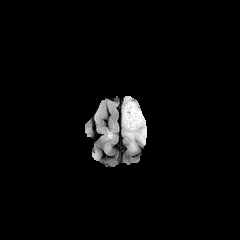
FLAIR MR.
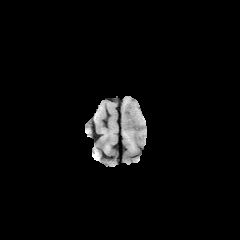
Same slice, T1-weighted MR.
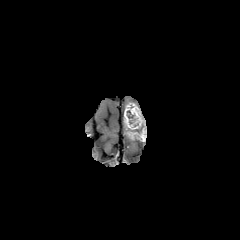
Post-contrast T1-weighted MRI of the same slice.
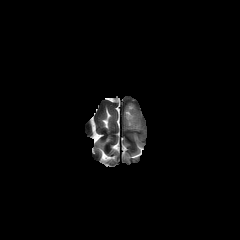
Same slice, T2-weighted MR.
Head; Image size 240x240; Axial slice
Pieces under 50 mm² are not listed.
enhancing tumor = [128,127,146,141], [124,103,143,129]
necrotic tumor core = [127,110,135,124]